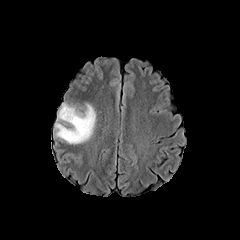
FLAIR magnetic resonance.
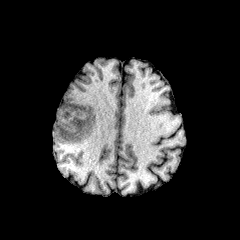
T1-weighted magnetic resonance.
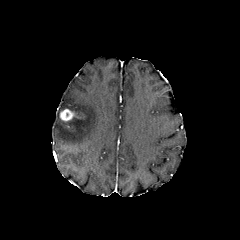
Post-contrast T1-weighted MR of the same slice.
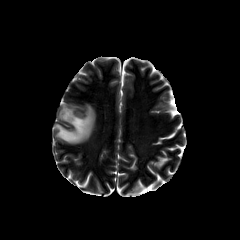
T2-weighted MRI.
Axial view | 240x240
The enhancing tumor lies within (59,108,78,121). The peritumoral edema lies within (55,103,96,144).